Slice index 71, Head
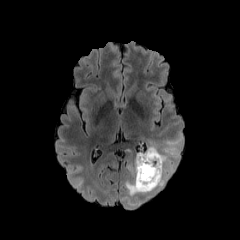
FLAIR MR.
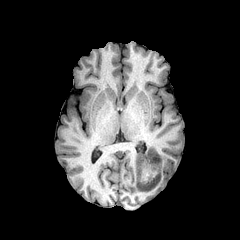
Same slice, T1-weighted magnetic resonance.
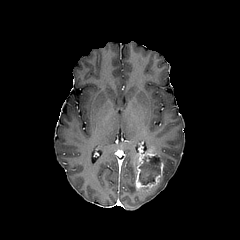
Post-contrast T1-weighted MR image of the same slice.
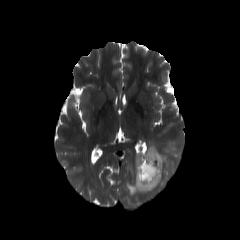
T2-weighted MR image.
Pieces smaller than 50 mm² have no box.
The necrotic tumor core is at [x1=139, y1=156, x2=160, y2=184]. The largest enhancing tumor region appears at [x1=135, y1=150, x2=163, y2=189]. The largest peritumoral edema region is bounded by [x1=125, y1=137, x2=181, y2=196].